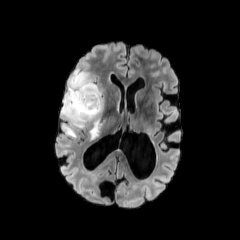
FLAIR MR image.
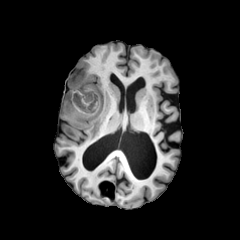
T1-weighted MRI.
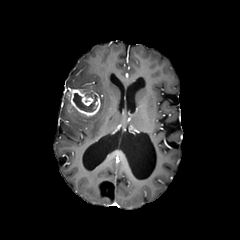
Post-contrast T1-weighted magnetic resonance.
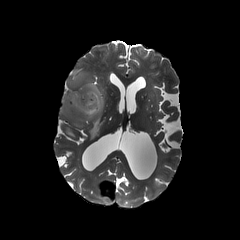
T2-weighted MR image of the same slice.
Axial slice; Image size 240x240; Brain
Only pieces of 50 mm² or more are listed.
<segmentation>
  <enhancing_tumor>box=[64, 87, 100, 116]</enhancing_tumor>
  <necrotic_tumor_core>box=[73, 93, 97, 111]</necrotic_tumor_core>
  <peritumoral_edema>box=[63, 126, 75, 136]; box=[61, 70, 103, 127]; box=[90, 118, 101, 139]</peritumoral_edema>
</segmentation>